FLAIR MR image.
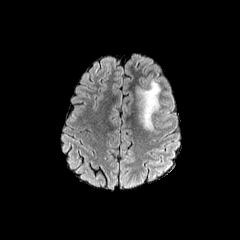
T1-weighted MRI.
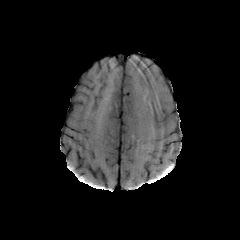
Post-contrast T1-weighted MRI.
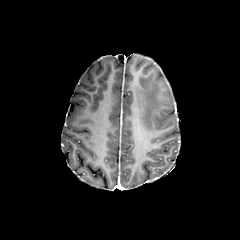
T2-weighted MR image.
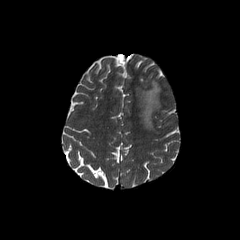
240x240 px | Brain | Axial view
The peritumoral edema is located at (x1=135, y1=80, x2=160, y2=134).